Slice index 93, Axial slice, Brain
FLAIR MR.
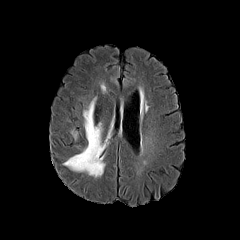
T1-weighted magnetic resonance.
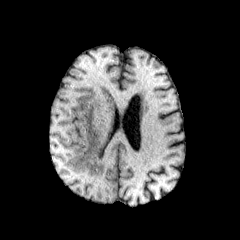
Post-contrast T1-weighted MR.
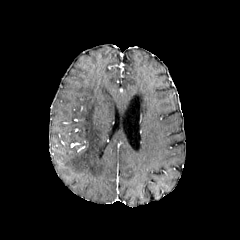
T2-weighted MR.
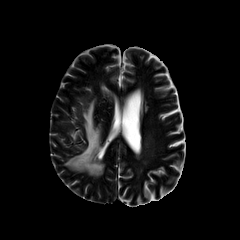
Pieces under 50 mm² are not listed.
Findings:
- peritumoral edema: left=64, top=99, right=105, bottom=177